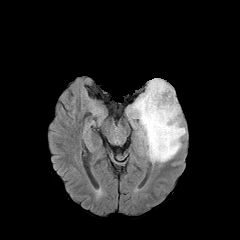
FLAIR MR image.
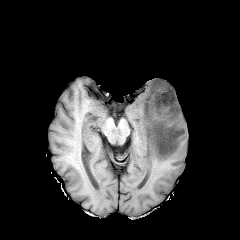
T1-weighted MR.
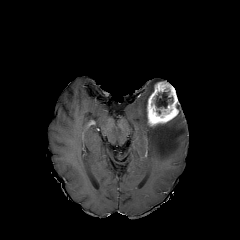
Post-contrast T1-weighted MR image.
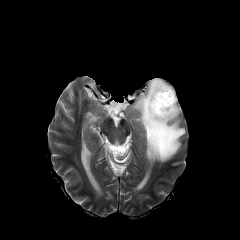
T2-weighted MRI.
Brain, Image size 240x240
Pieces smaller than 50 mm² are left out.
The largest enhancing tumor region is at rect(146, 81, 179, 126). The largest peritumoral edema region lies within rect(127, 78, 185, 163). The largest necrotic tumor core region is at rect(155, 92, 172, 107).